FLAIR MR.
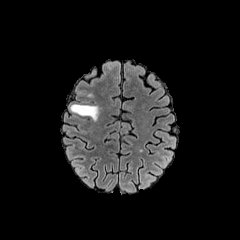
T1-weighted magnetic resonance.
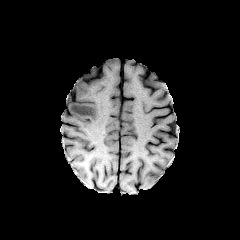
Post-contrast T1-weighted MRI.
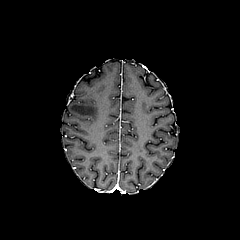
T2-weighted MRI.
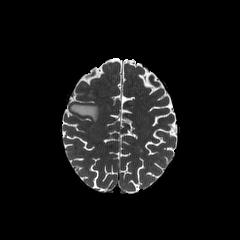
Axial plane. Brain.
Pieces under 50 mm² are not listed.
<segmentation>
  <peritumoral_edema>[70,104,99,120]</peritumoral_edema>
</segmentation>